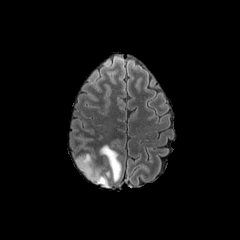
FLAIR MRI.
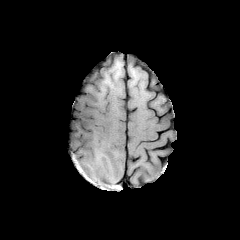
T1-weighted MR image.
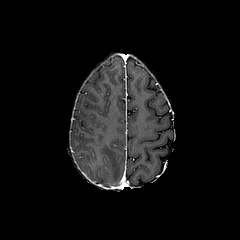
Same slice, post-contrast T1-weighted magnetic resonance.
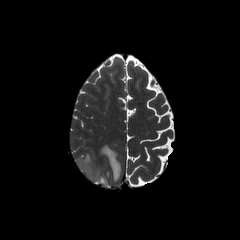
Same slice, T2-weighted MR image.
Image size 240x240
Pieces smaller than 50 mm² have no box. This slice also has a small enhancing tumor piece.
<segmentation>
  <peritumoral_edema>bbox=[100, 145, 121, 181]; bbox=[76, 154, 108, 186]</peritumoral_edema>
</segmentation>